Axial plane, Head
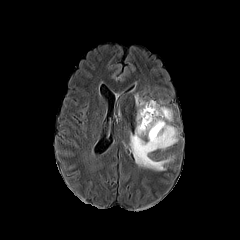
FLAIR MRI.
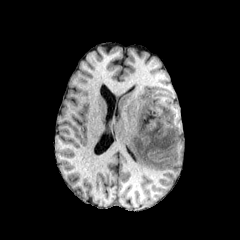
Same slice, T1-weighted MR image.
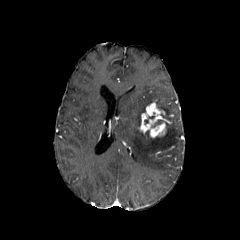
Post-contrast T1-weighted MR.
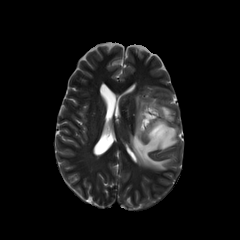
T2-weighted MR.
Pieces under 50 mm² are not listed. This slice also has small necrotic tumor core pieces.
enhancing tumor at box(138, 101, 167, 138)
peritumoral edema at box(129, 94, 178, 170)